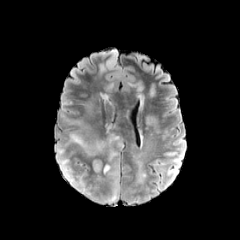
FLAIR MR image.
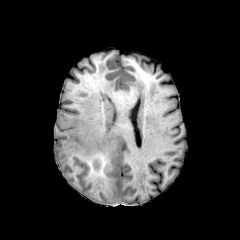
T1-weighted MRI.
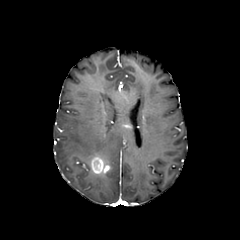
Post-contrast T1-weighted MR.
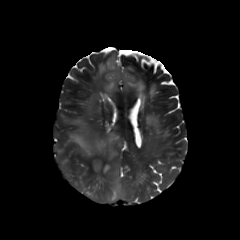
Same slice, T2-weighted MR.
240x240 px, Axial slice, Head
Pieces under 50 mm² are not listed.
{
  "peritumoral_edema": [
    "bbox=[72, 120, 86, 131]",
    "bbox=[69, 133, 122, 160]",
    "bbox=[138, 173, 144, 181]",
    "bbox=[128, 82, 143, 91]",
    "bbox=[57, 148, 73, 181]",
    "bbox=[106, 163, 119, 202]"
  ],
  "enhancing_tumor": [
    "bbox=[91, 156, 109, 173]"
  ]
}